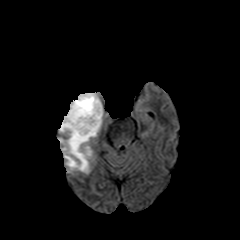
FLAIR MR.
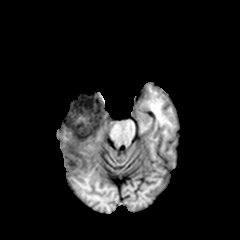
Same slice, T1-weighted MR image.
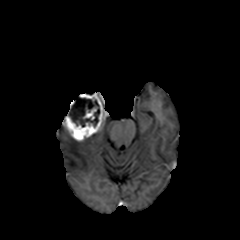
Same slice, post-contrast T1-weighted MR.
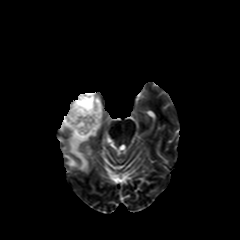
T2-weighted MRI of the same slice.
Head. Axial plane.
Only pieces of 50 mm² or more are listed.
peritumoral edema at x1=58 y1=125 x2=92 y2=173
enhancing tumor at x1=83 y1=107 x2=97 y2=119, x1=62 y1=92 x2=106 y2=141
necrotic tumor core at x1=69 y1=97 x2=99 y2=126